Slice 101 of 155 | 240x240 | Axial view
FLAIR MRI.
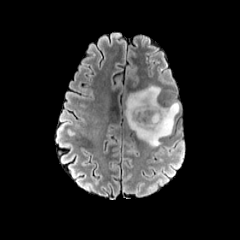
T1-weighted magnetic resonance.
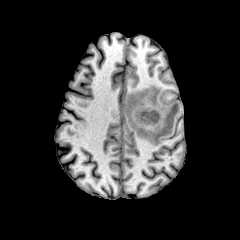
Post-contrast T1-weighted MR image.
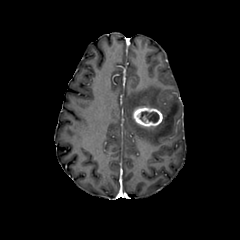
T2-weighted MRI.
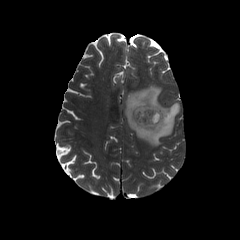
The peritumoral edema lies within region(124, 85, 180, 146). The necrotic tumor core lies within region(140, 111, 159, 122). The enhancing tumor lies within region(133, 106, 162, 127).